Slice 91/155; Image size 240x240
FLAIR MR.
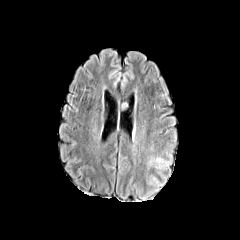
T1-weighted magnetic resonance.
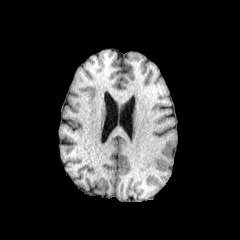
Post-contrast T1-weighted MR.
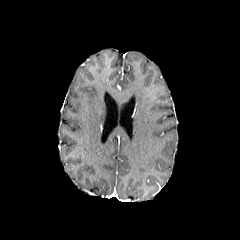
T2-weighted MR image.
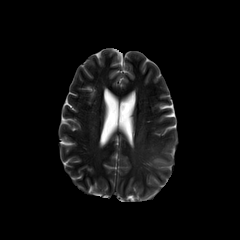
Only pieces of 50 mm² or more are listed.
The largest peritumoral edema region is located at (149,157,170,167).